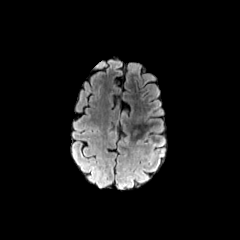
FLAIR MR.
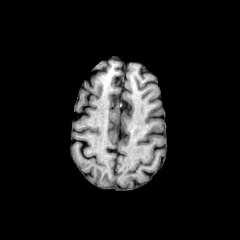
Same slice, T1-weighted magnetic resonance.
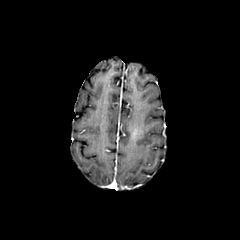
Post-contrast T1-weighted MRI.
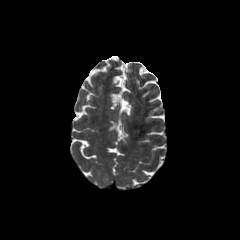
T2-weighted magnetic resonance of the same slice.
240x240; Axial slice
The enhancing tumor lies within (132,129,141,137).